FLAIR MR.
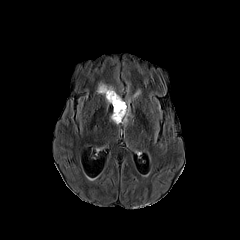
T1-weighted MRI.
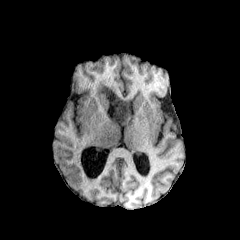
Post-contrast T1-weighted MR image.
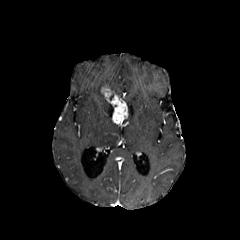
T2-weighted MRI.
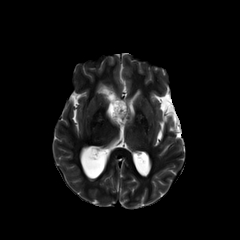
Axial slice.
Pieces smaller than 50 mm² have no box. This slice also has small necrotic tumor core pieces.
The enhancing tumor lies within 101, 86, 128, 124. The largest peritumoral edema region is at 97, 83, 106, 93.